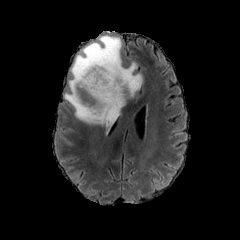
FLAIR MR.
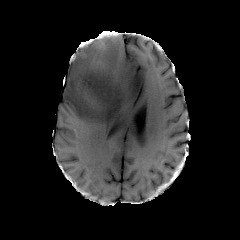
T1-weighted MR.
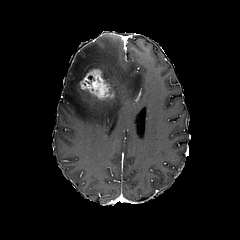
Same slice, post-contrast T1-weighted magnetic resonance.
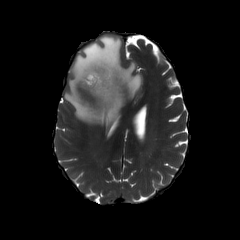
Same slice, T2-weighted magnetic resonance.
Head.
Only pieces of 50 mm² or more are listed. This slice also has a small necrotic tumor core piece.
The peritumoral edema lies within x1=64, y1=35, x2=142, y2=127. The enhancing tumor lies within x1=80, y1=65, x2=119, y2=101.